FLAIR magnetic resonance.
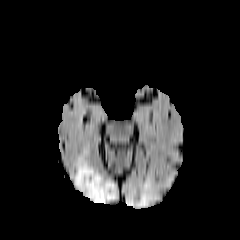
T1-weighted MR image.
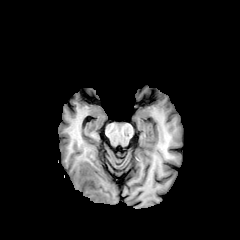
Post-contrast T1-weighted magnetic resonance.
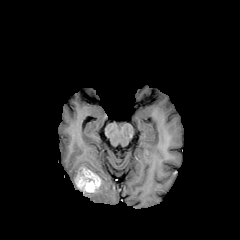
T2-weighted MRI.
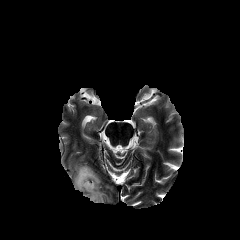
Brain | Image size 240x240
peritumoral edema: bounding box l=73, t=158, r=115, b=203
enhancing tumor: bounding box l=74, t=166, r=101, b=194